FLAIR MRI.
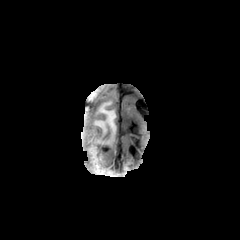
T1-weighted magnetic resonance.
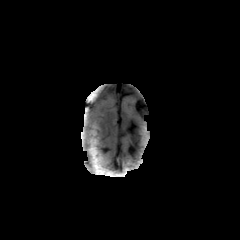
Post-contrast T1-weighted magnetic resonance.
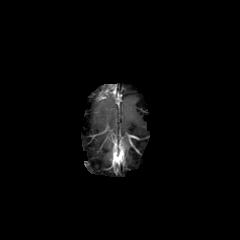
T2-weighted MR.
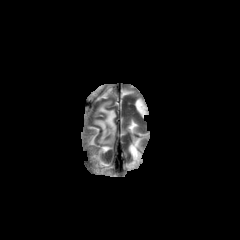
Brain
• enhancing tumor: <box>97,84,117,99</box>
• peritumoral edema: <box>88,84,109,100</box>, <box>93,95,116,148</box>